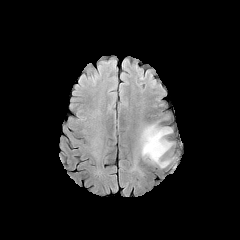
FLAIR MR image.
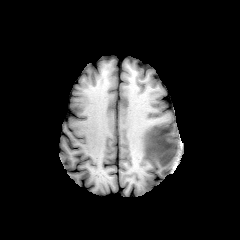
T1-weighted MR image.
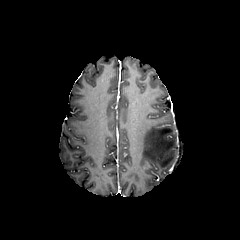
Post-contrast T1-weighted MR of the same slice.
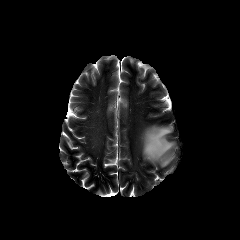
T2-weighted MRI.
240x240 px
The peritumoral edema lies within bbox=[141, 124, 174, 167].